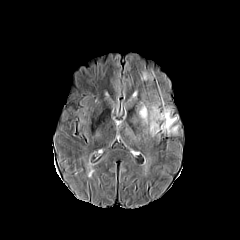
FLAIR MR.
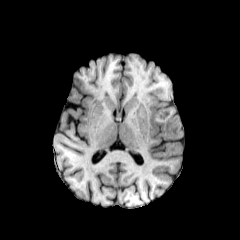
Same slice, T1-weighted magnetic resonance.
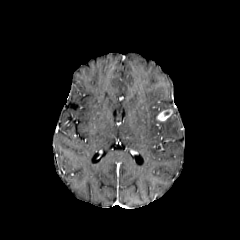
Same slice, post-contrast T1-weighted MRI.
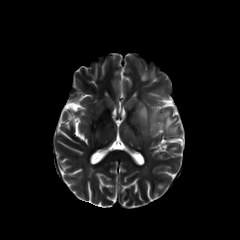
Same slice, T2-weighted magnetic resonance.
Head, Axial view
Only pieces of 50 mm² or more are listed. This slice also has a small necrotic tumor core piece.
peritumoral edema: bounding box <box>161,116,178,134</box>, <box>140,70,148,80</box>, <box>149,108,159,135</box>, <box>139,105,147,123</box>
enhancing tumor: bounding box <box>156,109,172,121</box>